FLAIR MRI.
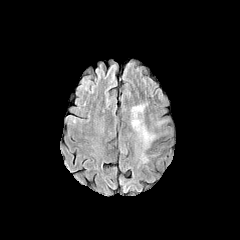
T1-weighted MR.
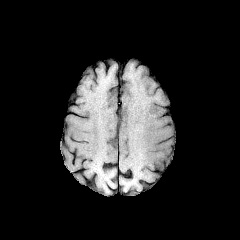
Post-contrast T1-weighted MR image.
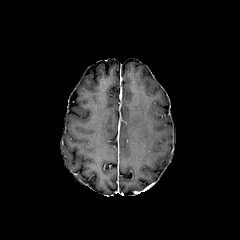
T2-weighted MR.
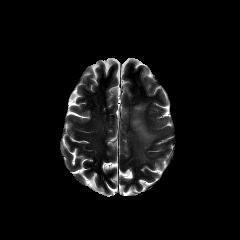
Brain
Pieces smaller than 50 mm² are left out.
peritumoral edema = region(131, 104, 155, 148)